FLAIR MRI.
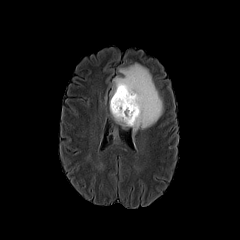
T1-weighted magnetic resonance.
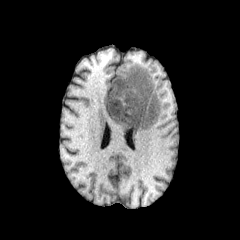
Post-contrast T1-weighted MR image.
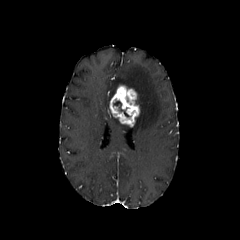
T2-weighted MR image.
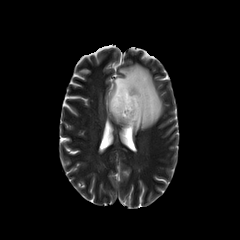
Image size 240x240
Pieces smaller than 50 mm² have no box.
enhancing tumor: (109, 85, 139, 126) | necrotic tumor core: (113, 101, 129, 117) | peritumoral edema: (114, 118, 128, 128), (110, 63, 162, 133)